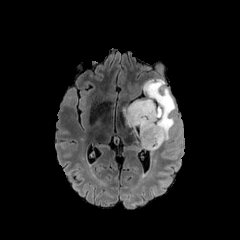
FLAIR MRI.
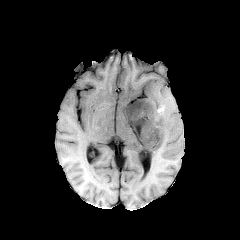
T1-weighted MR image of the same slice.
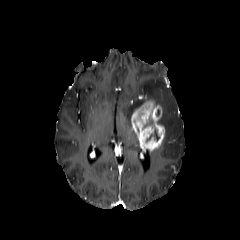
Same slice, post-contrast T1-weighted magnetic resonance.
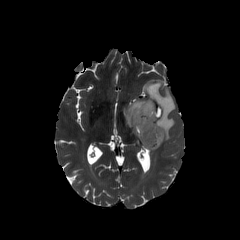
T2-weighted magnetic resonance.
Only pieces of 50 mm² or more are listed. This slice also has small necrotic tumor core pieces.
The enhancing tumor is at (x1=130, y1=100, x2=165, y2=151). The largest peritumoral edema region lies within (x1=124, y1=79, x2=180, y2=143).